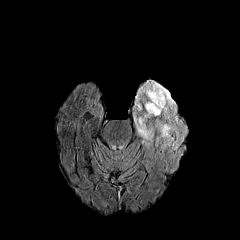
FLAIR magnetic resonance.
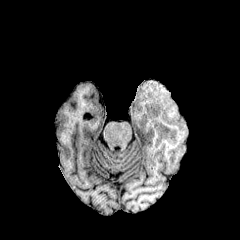
T1-weighted magnetic resonance.
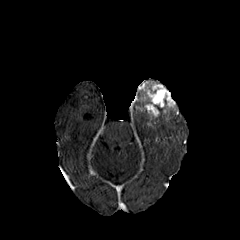
Post-contrast T1-weighted MR image.
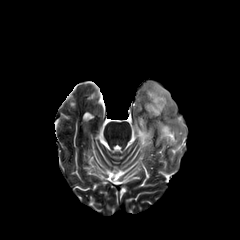
T2-weighted magnetic resonance of the same slice.
Image size 240x240; Axial plane
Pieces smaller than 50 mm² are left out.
peritumoral_edema:
  - <box>133,106,183,148</box>
enhancing_tumor:
  - <box>135,80,176,119</box>